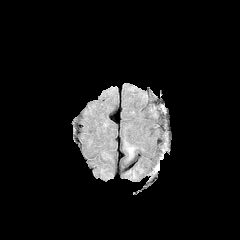
FLAIR MR image.
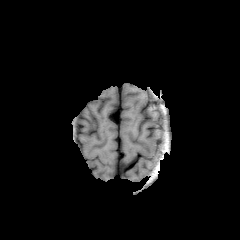
T1-weighted magnetic resonance of the same slice.
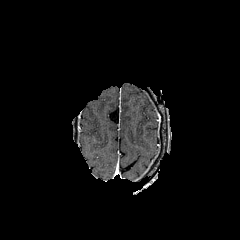
Same slice, post-contrast T1-weighted MR.
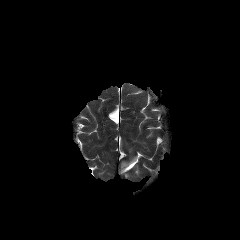
T2-weighted MRI.
Head, Axial plane
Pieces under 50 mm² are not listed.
Annotated regions:
- peritumoral edema: [x1=125, y1=142, x2=135, y2=159]